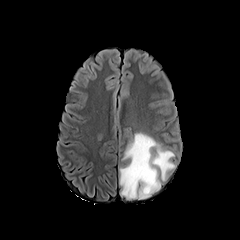
FLAIR MR image.
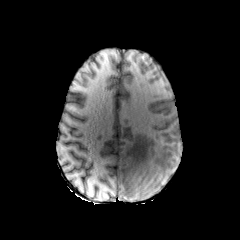
T1-weighted magnetic resonance.
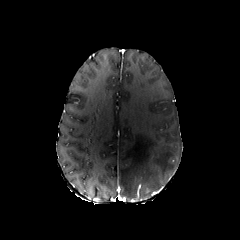
Post-contrast T1-weighted MR.
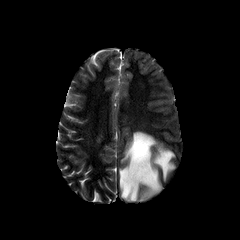
T2-weighted MR image of the same slice.
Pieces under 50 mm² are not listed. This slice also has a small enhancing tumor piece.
The peritumoral edema is at [x1=119, y1=132, x2=175, y2=199].